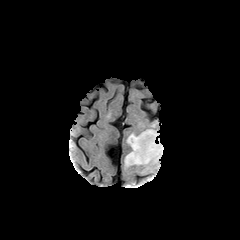
FLAIR MRI.
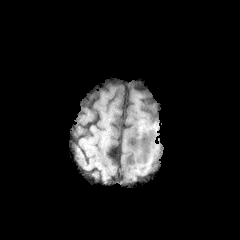
Same slice, T1-weighted MRI.
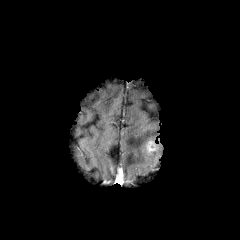
Post-contrast T1-weighted MR image of the same slice.
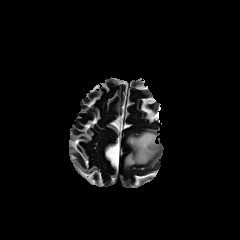
T2-weighted MR.
The peritumoral edema is bounded by box=[124, 129, 163, 167]. The enhancing tumor is at box=[143, 138, 158, 154].